FLAIR magnetic resonance.
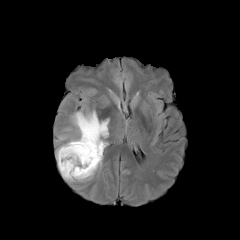
T1-weighted MR.
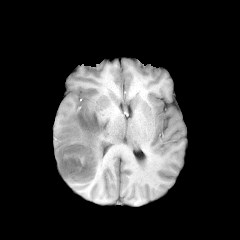
Post-contrast T1-weighted magnetic resonance.
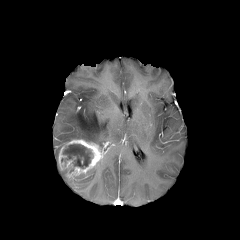
T2-weighted MR.
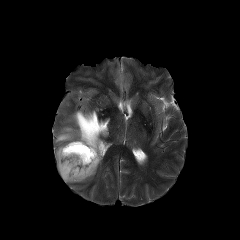
Axial plane
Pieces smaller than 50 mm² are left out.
necrotic tumor core: bounding box bbox(61, 144, 92, 168)
peritumoral edema: bounding box bbox(55, 110, 109, 164); bbox(60, 159, 102, 182)
enhancing tumor: bounding box bbox(58, 139, 102, 179)